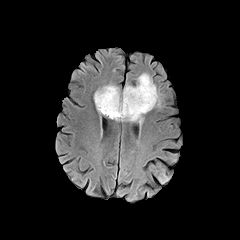
FLAIR MR.
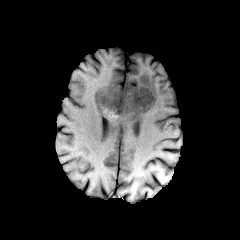
T1-weighted MRI.
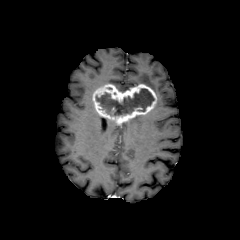
Post-contrast T1-weighted MR image of the same slice.
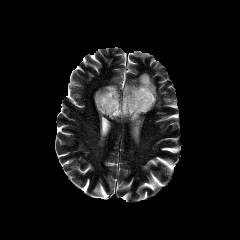
Same slice, T2-weighted magnetic resonance.
Axial view
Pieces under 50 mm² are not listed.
peritumoral edema: [137, 73, 160, 107], [127, 115, 144, 129] | necrotic tumor core: [96, 88, 154, 115] | enhancing tumor: [93, 84, 157, 122]